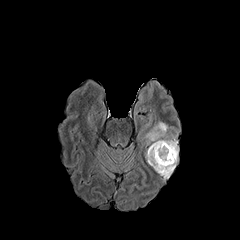
FLAIR MR.
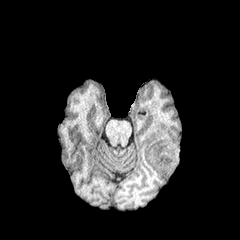
T1-weighted MR of the same slice.
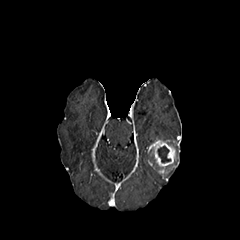
Same slice, post-contrast T1-weighted magnetic resonance.
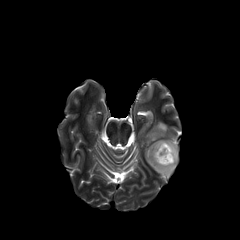
T2-weighted MR image.
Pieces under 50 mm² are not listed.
The enhancing tumor is bounded by bbox=[148, 138, 177, 177]. The necrotic tumor core is located at bbox=[157, 146, 170, 162]. The largest peritumoral edema region is at bbox=[146, 122, 172, 144].